FLAIR magnetic resonance.
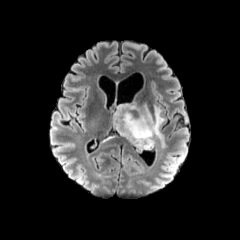
T1-weighted magnetic resonance.
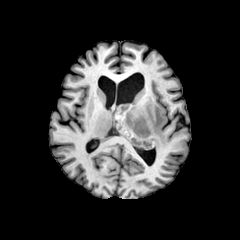
Post-contrast T1-weighted magnetic resonance.
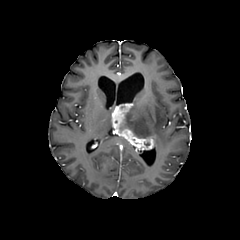
T2-weighted MRI.
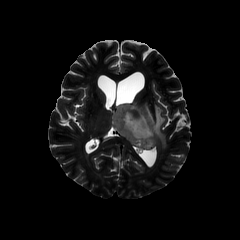
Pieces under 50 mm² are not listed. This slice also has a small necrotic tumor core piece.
The peritumoral edema appears at <bbox>122, 104, 165, 147</bbox>. The enhancing tumor is bounded by <bbox>112, 103, 154, 150</bbox>.